FLAIR MR.
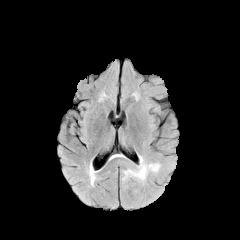
T1-weighted MRI.
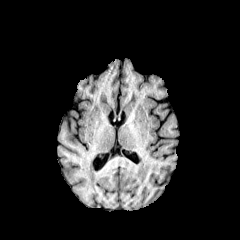
Post-contrast T1-weighted MR.
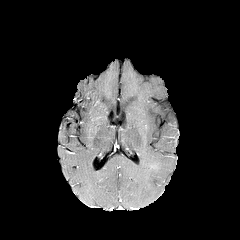
T2-weighted MR.
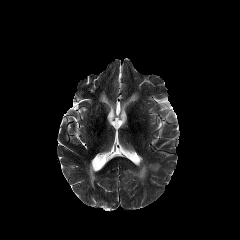
Axial view, 240x240 px
The peritumoral edema is located at l=122, t=156, r=160, b=183.